FLAIR MRI.
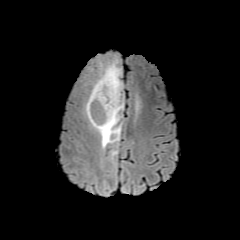
T1-weighted MR.
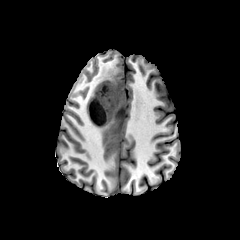
Post-contrast T1-weighted MR image.
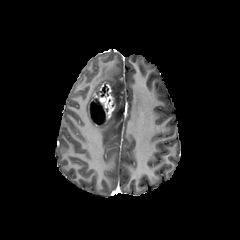
T2-weighted MR image.
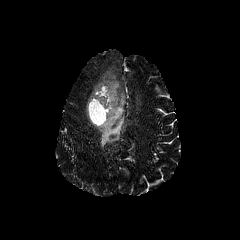
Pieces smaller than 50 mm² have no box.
Findings:
* peritumoral edema: bbox(85, 60, 124, 148)
* necrotic tumor core: bbox(97, 83, 108, 96); bbox(89, 98, 106, 125)
* enhancing tumor: bbox(88, 81, 115, 126)